FLAIR MR.
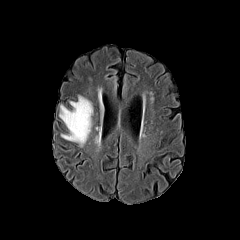
T1-weighted MRI.
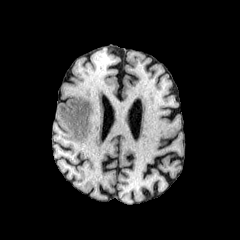
Post-contrast T1-weighted magnetic resonance.
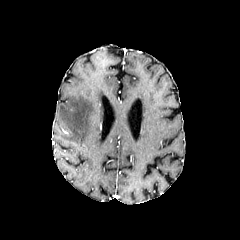
T2-weighted MRI.
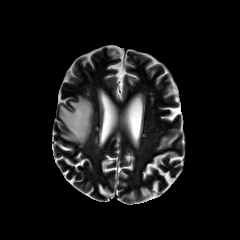
Axial slice, Head
peritumoral edema: (left=59, top=95, right=93, bottom=146)